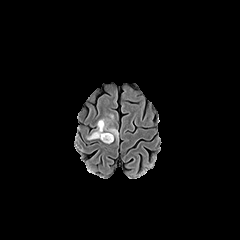
FLAIR MRI.
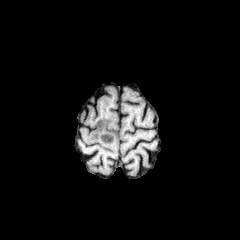
T1-weighted MR.
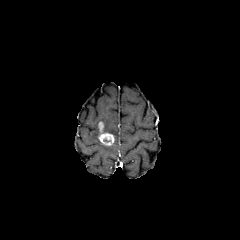
Post-contrast T1-weighted MRI of the same slice.
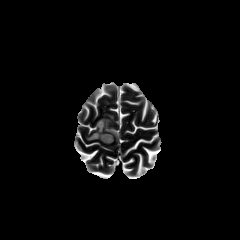
T2-weighted MR of the same slice.
240x240 px | Axial plane
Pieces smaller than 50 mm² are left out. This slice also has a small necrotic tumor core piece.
<segmentation>
  <enhancing_tumor>98:121:114:145</enhancing_tumor>
  <peritumoral_edema>98:114:118:140, 87:123:99:139</peritumoral_edema>
</segmentation>